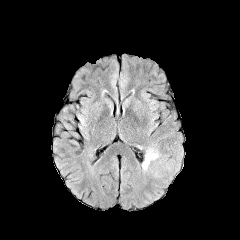
FLAIR magnetic resonance.
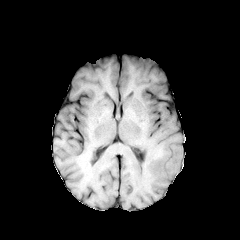
T1-weighted magnetic resonance of the same slice.
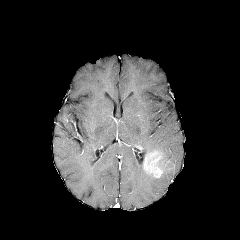
Post-contrast T1-weighted MR image.
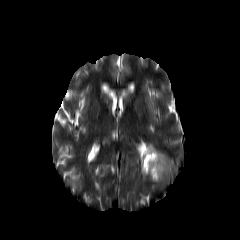
T2-weighted MR of the same slice.
Head.
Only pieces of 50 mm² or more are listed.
Segmented structures:
• enhancing tumor: 143,151,165,177
• peritumoral edema: 145,144,172,173; 141,161,159,179